Axial plane
FLAIR MR image.
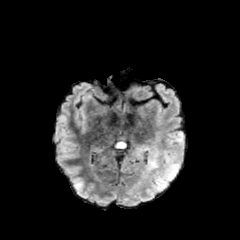
T1-weighted MR image.
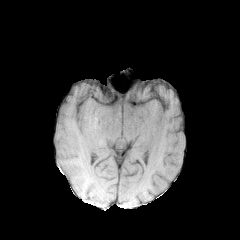
Post-contrast T1-weighted magnetic resonance.
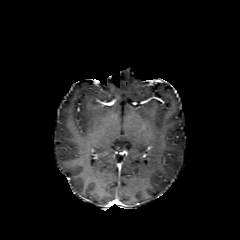
T2-weighted MRI.
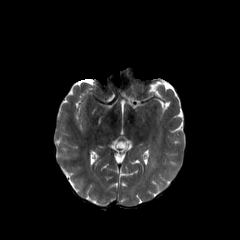
peritumoral_edema:
  - [x1=141, y1=131, x2=185, y2=204]